240x240 px, Axial slice, Image width 240 mm, 1.00 mm slice spacing
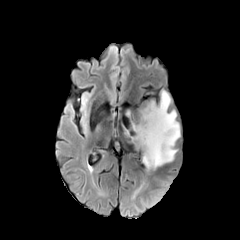
FLAIR MRI.
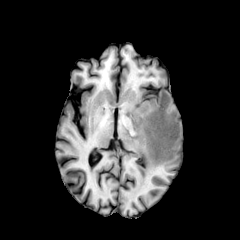
T1-weighted MRI.
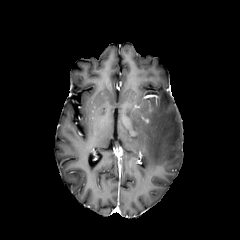
Same slice, post-contrast T1-weighted MR.
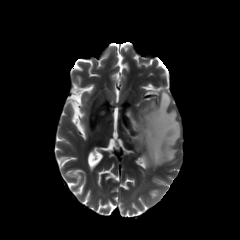
T2-weighted MRI of the same slice.
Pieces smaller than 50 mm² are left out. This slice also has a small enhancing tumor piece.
The largest peritumoral edema region is at (left=126, top=90, right=180, bottom=169).